FLAIR MR.
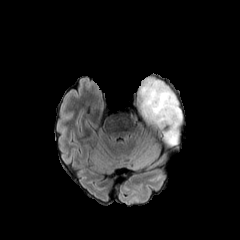
T1-weighted MR.
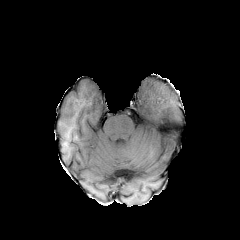
Post-contrast T1-weighted MRI.
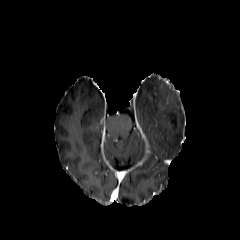
T2-weighted MRI.
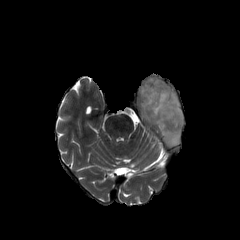
Brain, Axial slice
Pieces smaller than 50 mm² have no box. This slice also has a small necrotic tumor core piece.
The peritumoral edema is located at left=139, top=78, right=182, bottom=145. The enhancing tumor lies within left=167, top=112, right=177, bottom=127.